Axial plane
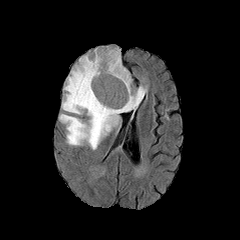
FLAIR MRI.
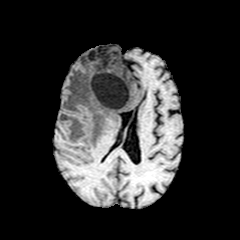
T1-weighted MR image.
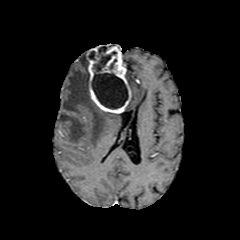
Same slice, post-contrast T1-weighted MR image.
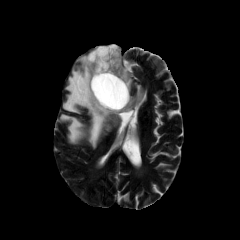
T2-weighted MR image.
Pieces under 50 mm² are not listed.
The 2 largest necrotic tumor core regions are bounded by <bbox>88, 51, 95, 60</bbox>, <bbox>91, 46, 128, 109</bbox>. The enhancing tumor is at <bbox>86, 45, 131, 113</bbox>. 3 peritumoral edema regions are bounded by <bbox>126, 70, 132, 87</bbox>, <bbox>59, 55, 119, 149</bbox>, <bbox>124, 86, 146, 111</bbox>.